Image size 240x240. Head. Axial slice. Slice 117/155.
FLAIR MR.
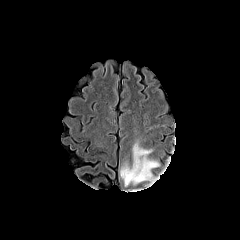
T1-weighted MRI.
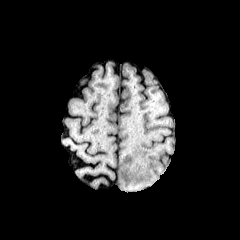
Post-contrast T1-weighted MR image.
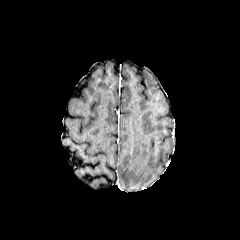
T2-weighted MR image.
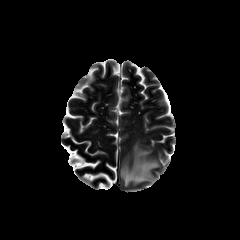
peritumoral edema: left=120, top=143, right=159, bottom=186